FLAIR MR.
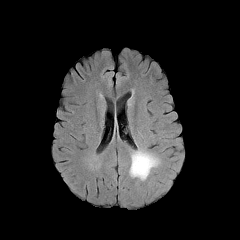
T1-weighted magnetic resonance.
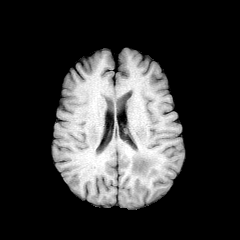
Post-contrast T1-weighted MR.
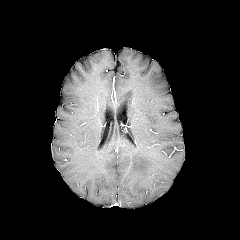
T2-weighted magnetic resonance.
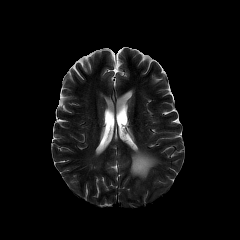
Head; 240x240 px; Axial slice
peritumoral edema at x1=129 y1=150 x2=159 y2=180